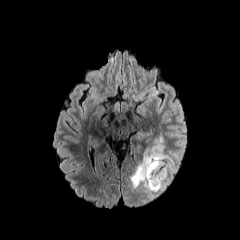
FLAIR MRI.
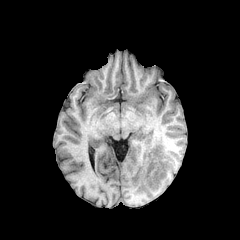
Same slice, T1-weighted MR image.
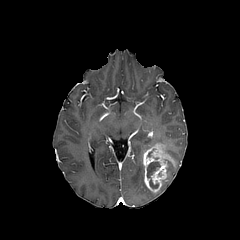
Post-contrast T1-weighted magnetic resonance of the same slice.
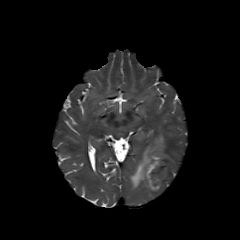
T2-weighted MR image of the same slice.
240x240 px. Head.
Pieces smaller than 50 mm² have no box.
<segmentation>
  <enhancing_tumor><bbox>143, 143, 173, 192</bbox></enhancing_tumor>
  <peritumoral_edema><bbox>130, 158, 162, 198</bbox>, <bbox>146, 134, 165, 149</bbox></peritumoral_edema>
  <necrotic_tumor_core><bbox>147, 161, 160, 188</bbox></necrotic_tumor_core>
</segmentation>